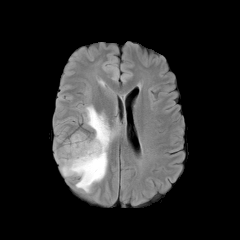
FLAIR MR.
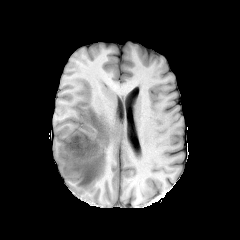
T1-weighted MR.
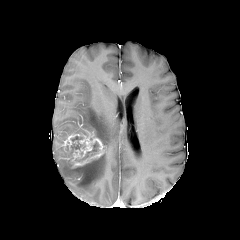
Post-contrast T1-weighted MR.
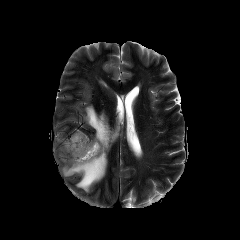
T2-weighted MR.
Axial slice
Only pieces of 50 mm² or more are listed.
enhancing tumor at (61,133,104,168)
peritumoral edema at (58,105,119,192)
necrotic tumor core at (73,138,80,148), (86,144,98,156)